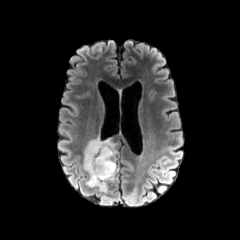
FLAIR MR.
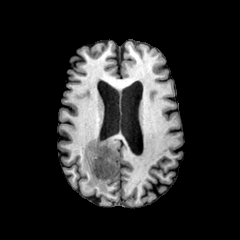
T1-weighted MRI of the same slice.
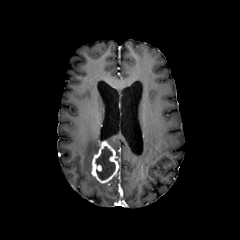
Same slice, post-contrast T1-weighted MRI.
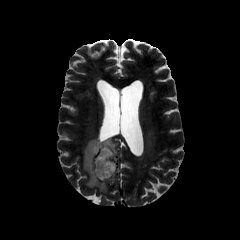
T2-weighted magnetic resonance of the same slice.
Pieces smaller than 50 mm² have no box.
<segmentation>
  <enhancing_tumor>91, 141, 119, 183</enhancing_tumor>
  <peritumoral_edema>83, 136, 117, 192</peritumoral_edema>
  <necrotic_tumor_core>95, 146, 115, 180</necrotic_tumor_core>
</segmentation>